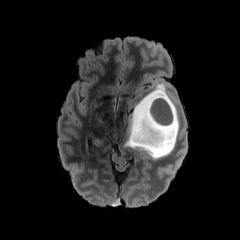
FLAIR MRI.
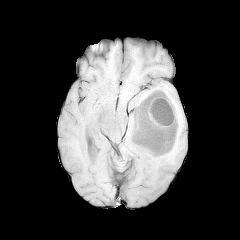
T1-weighted MRI.
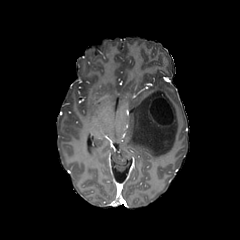
Post-contrast T1-weighted MR image.
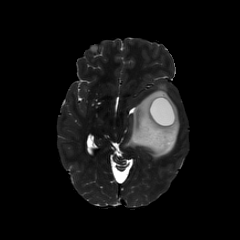
Same slice, T2-weighted MRI.
Brain, Image size 240x240
necrotic tumor core: bounding box box=[150, 97, 172, 124]
peritumoral edema: bounding box box=[125, 84, 179, 159]
enhancing tumor: bounding box box=[148, 95, 174, 126]